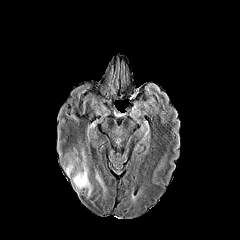
FLAIR magnetic resonance.
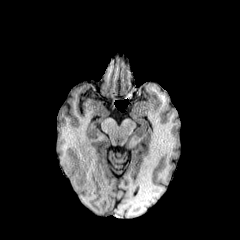
T1-weighted MR image.
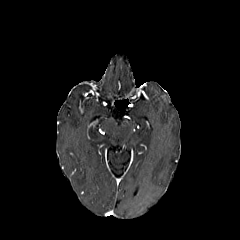
Post-contrast T1-weighted MR.
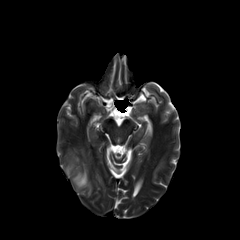
T2-weighted MRI.
Axial view
3 peritumoral edema regions are bounded by (left=72, top=151, right=92, bottom=196), (left=96, top=173, right=105, bottom=191), (left=65, top=159, right=74, bottom=176).